Slice 66/155, 240x240 px
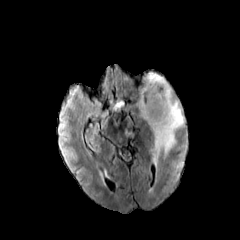
FLAIR MR.
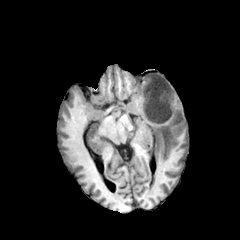
T1-weighted MR of the same slice.
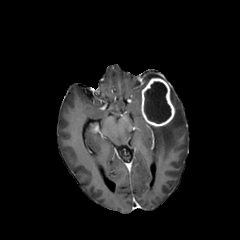
Same slice, post-contrast T1-weighted MR.
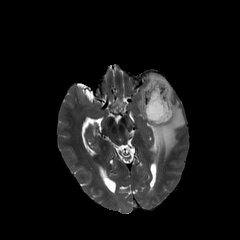
T2-weighted MR.
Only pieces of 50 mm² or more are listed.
necrotic tumor core — left=144, top=82, right=170, bottom=123
peritumoral edema — left=150, top=88, right=184, bottom=162; left=145, top=73, right=162, bottom=82
enhancing tumor — left=141, top=77, right=175, bottom=126